Axial plane | Brain | Slice 56/155
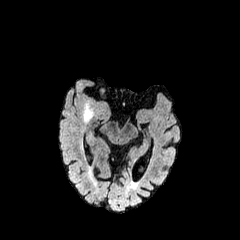
FLAIR magnetic resonance.
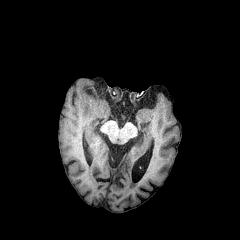
Same slice, T1-weighted magnetic resonance.
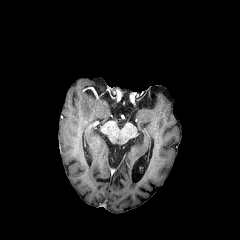
Same slice, post-contrast T1-weighted MR image.
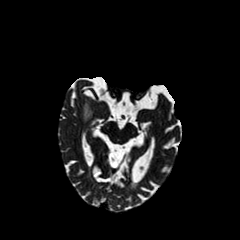
T2-weighted magnetic resonance.
{
  "peritumoral_edema": [
    "x1=84, y1=104, x2=92, y2=121"
  ]
}